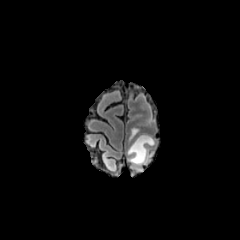
FLAIR magnetic resonance.
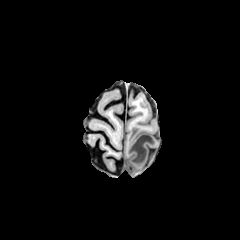
T1-weighted MRI.
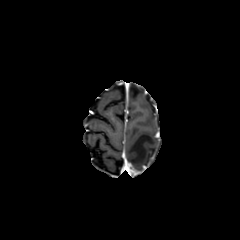
Same slice, post-contrast T1-weighted MR image.
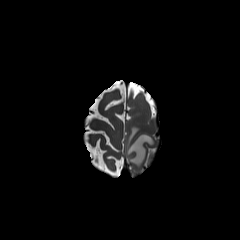
T2-weighted MR image.
Brain | Axial slice
The peritumoral edema is bounded by x1=127, y1=128, x2=154, y2=169.